FLAIR MR.
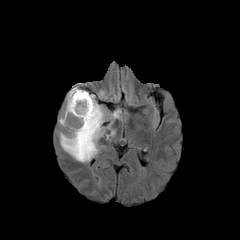
T1-weighted MR.
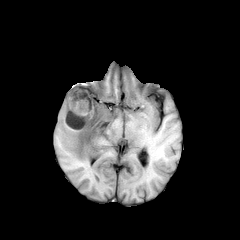
Post-contrast T1-weighted MR image.
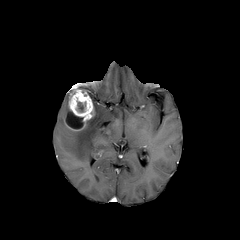
T2-weighted MR.
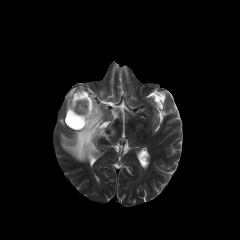
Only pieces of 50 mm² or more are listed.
necrotic tumor core: x1=66, y1=111, x2=83, y2=129 | peritumoral edema: x1=60, y1=94, x2=121, y2=162; x1=59, y1=93, x2=68, y2=126 | enhancing tumor: x1=64, y1=86, x2=95, y2=130